FLAIR MRI.
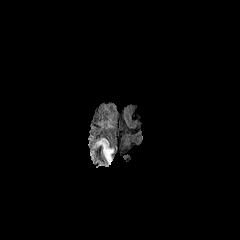
T1-weighted MRI.
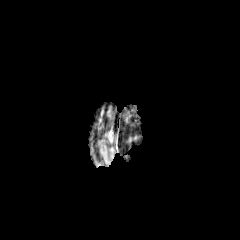
Post-contrast T1-weighted MR.
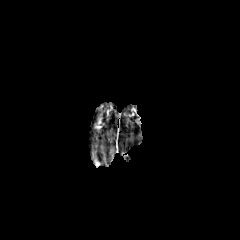
T2-weighted magnetic resonance.
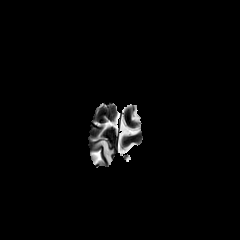
Head
• peritumoral edema: rect(95, 139, 113, 164)